240x240, Image width 240 mm, 1.00 mm slice spacing
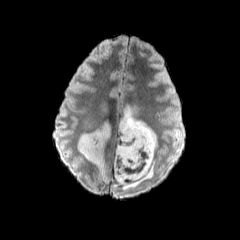
FLAIR MRI.
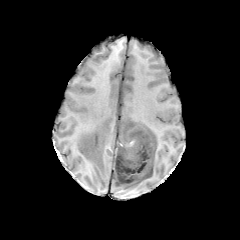
T1-weighted magnetic resonance of the same slice.
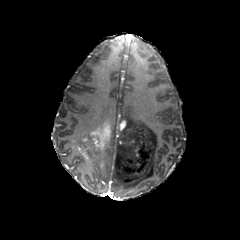
Same slice, post-contrast T1-weighted magnetic resonance.
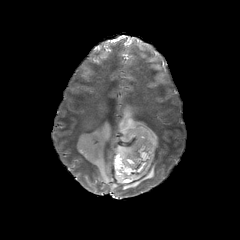
Same slice, T2-weighted MR image.
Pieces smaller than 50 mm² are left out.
enhancing tumor at (116,119,126,140), (77,121,111,161)
necrotic tumor core at (82,137,97,157)
peritumoral edema at (92,152,106,180), (114,100,157,190), (78,132,90,143)